Slice index 125
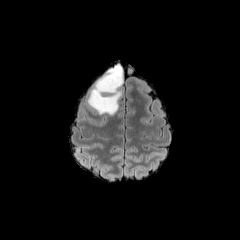
FLAIR MR.
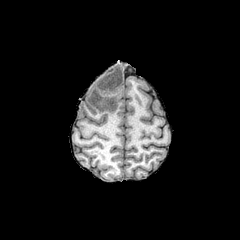
T1-weighted MR image.
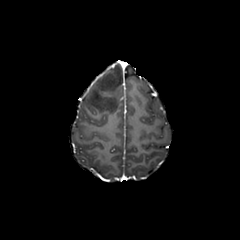
Same slice, post-contrast T1-weighted magnetic resonance.
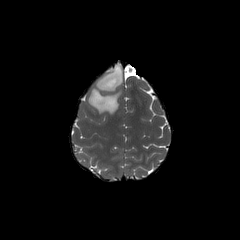
T2-weighted MRI of the same slice.
peritumoral edema: region(88, 64, 123, 115)